Brain. Image size 240x240. Slice index 39. Axial view.
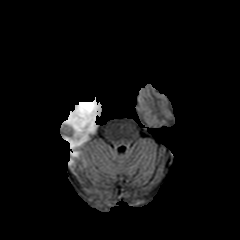
FLAIR MRI.
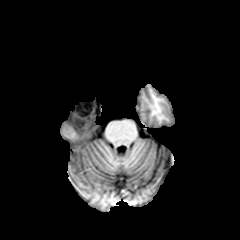
T1-weighted MR.
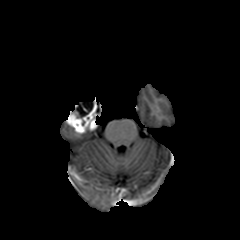
Post-contrast T1-weighted MR.
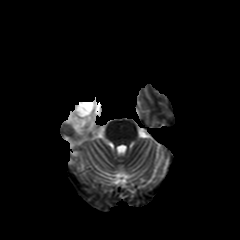
T2-weighted MR image.
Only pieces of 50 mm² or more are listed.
- peritumoral edema: 65, 131, 93, 148
- enhancing tumor: 65, 99, 99, 136
- necrotic tumor core: 76, 102, 93, 117